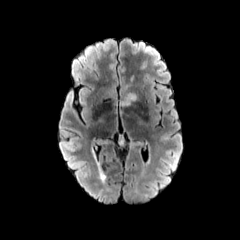
FLAIR magnetic resonance.
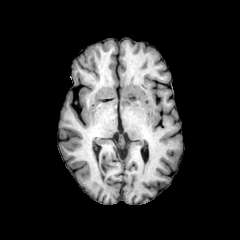
T1-weighted MRI.
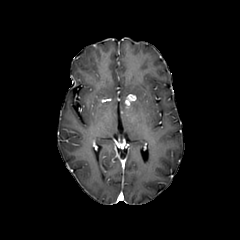
Post-contrast T1-weighted magnetic resonance of the same slice.
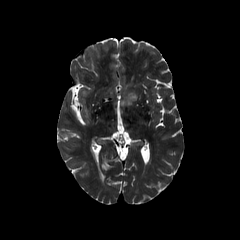
T2-weighted MR.
Axial plane | Brain
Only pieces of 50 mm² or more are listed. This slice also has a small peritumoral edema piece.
<segmentation>
  <enhancing_tumor>[125,94,136,106]</enhancing_tumor>
</segmentation>